Slice 68/155, Image width 240 mm, 1.00 mm slice spacing, Brain, Image size 240x240, Axial slice
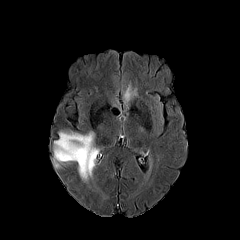
FLAIR MRI.
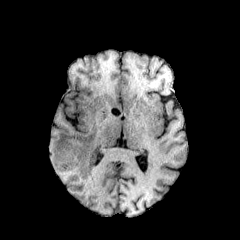
T1-weighted magnetic resonance.
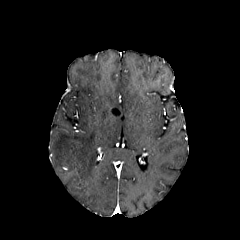
Same slice, post-contrast T1-weighted magnetic resonance.
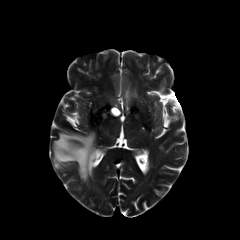
T2-weighted MR image.
The peritumoral edema is bounded by left=53, top=131, right=97, bottom=180.